Slice index 74, Brain
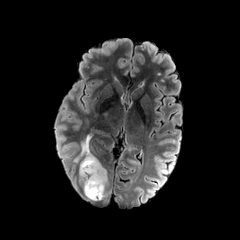
FLAIR magnetic resonance.
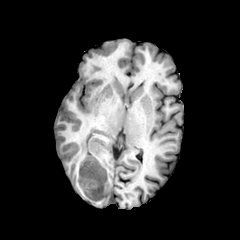
Same slice, T1-weighted MR.
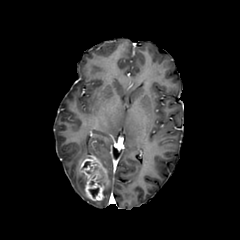
Post-contrast T1-weighted MRI.
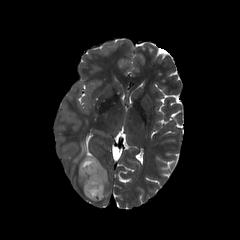
T2-weighted MRI.
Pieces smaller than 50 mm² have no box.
The largest necrotic tumor core region lies within {"x1": 89, "y1": 188, "x2": 98, "y2": 197}. The 3 largest peritumoral edema regions are bounded by {"x1": 104, "y1": 183, "x2": 109, "y2": 198}, {"x1": 74, "y1": 134, "x2": 91, "y2": 161}, {"x1": 79, "y1": 166, "x2": 86, "y2": 195}. The enhancing tumor appears at {"x1": 80, "y1": 154, "x2": 108, "y2": 201}.